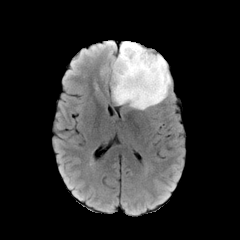
FLAIR MR image.
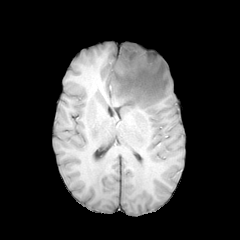
T1-weighted MR of the same slice.
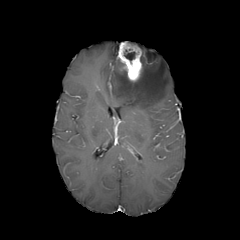
Same slice, post-contrast T1-weighted MR.
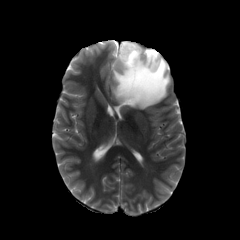
T2-weighted MR image.
Axial slice. Image size 240x240.
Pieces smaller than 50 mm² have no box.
necrotic tumor core: bbox(124, 52, 135, 60)
peritumoral edema: bbox(112, 46, 171, 109)
enhancing tumor: bbox(117, 41, 142, 81)